FLAIR MR.
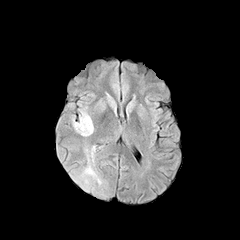
T1-weighted MR.
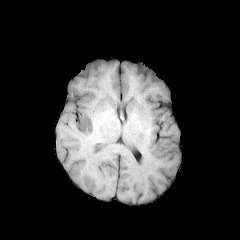
Post-contrast T1-weighted magnetic resonance.
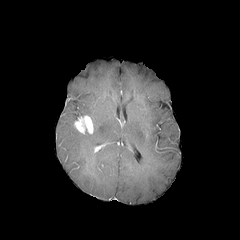
T2-weighted MR image.
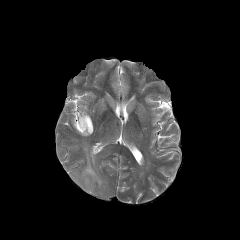
Brain
Segmented structures:
* enhancing tumor: l=74, t=115, r=93, b=133
* peritumoral edema: l=79, t=108, r=90, b=117; l=72, t=117, r=91, b=136; l=78, t=145, r=102, b=191